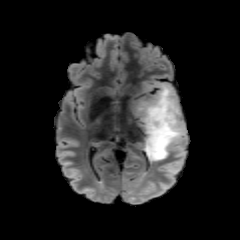
FLAIR MR.
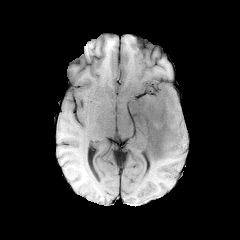
Same slice, T1-weighted magnetic resonance.
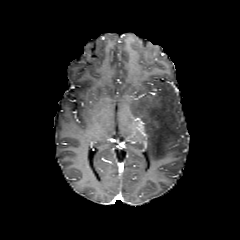
Post-contrast T1-weighted MRI.
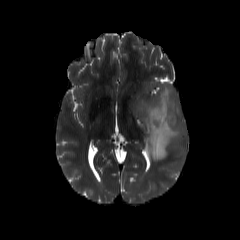
T2-weighted MR.
Axial slice; 240x240
{"peritumoral_edema": ["[136,85,186,161]"]}